FLAIR MRI.
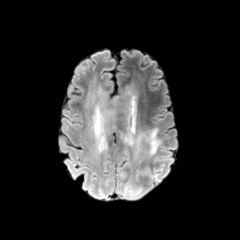
T1-weighted magnetic resonance.
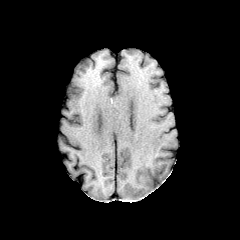
Post-contrast T1-weighted MR.
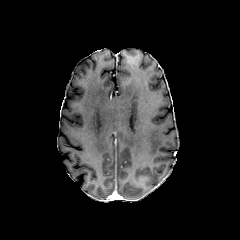
T2-weighted MR.
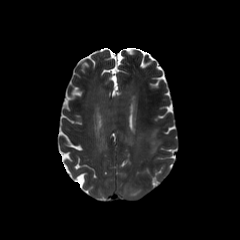
Image size 240x240, Brain
peritumoral edema — region(93, 90, 132, 151); region(135, 129, 159, 161)